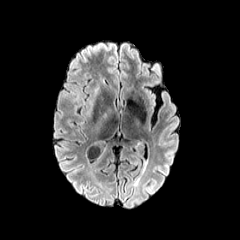
FLAIR magnetic resonance.
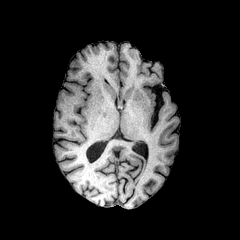
T1-weighted MR image.
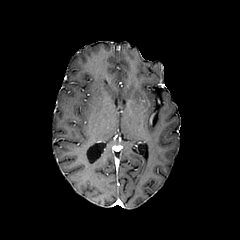
Post-contrast T1-weighted MRI of the same slice.
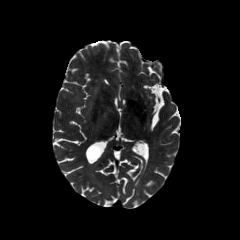
T2-weighted magnetic resonance of the same slice.
240x240 px | Axial plane | Brain
2 peritumoral edema regions are located at bbox=[86, 83, 101, 120]; bbox=[96, 107, 110, 130].